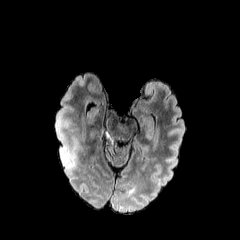
FLAIR MRI.
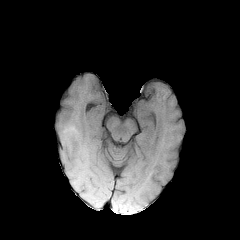
Same slice, T1-weighted MRI.
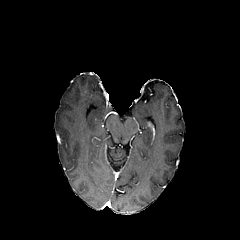
Post-contrast T1-weighted MR of the same slice.
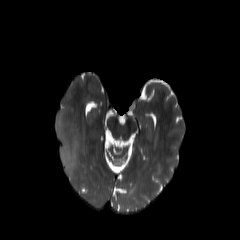
T2-weighted MR of the same slice.
The peritumoral edema is at (left=56, top=114, right=79, bottom=179).